FLAIR MRI.
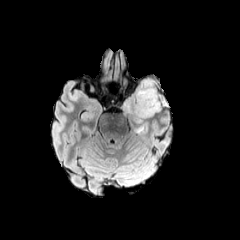
T1-weighted MR.
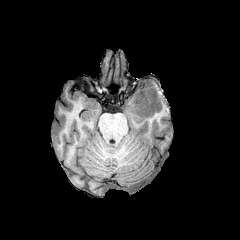
Post-contrast T1-weighted magnetic resonance.
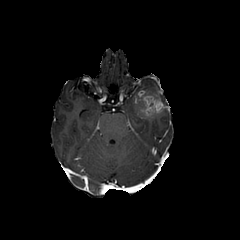
T2-weighted magnetic resonance.
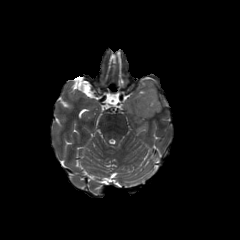
240x240 px
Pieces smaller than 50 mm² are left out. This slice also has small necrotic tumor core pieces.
enhancing tumor: bbox(136, 90, 166, 117)
peritumoral edema: bbox(133, 126, 143, 133); bbox(121, 77, 167, 123)